240x240; Head; Axial plane
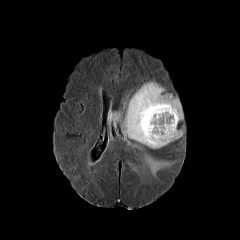
FLAIR magnetic resonance.
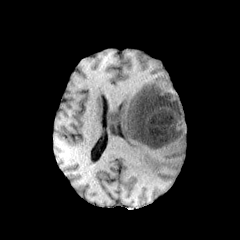
T1-weighted magnetic resonance.
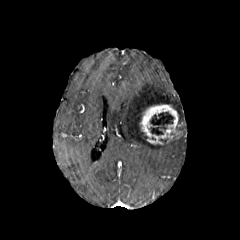
Post-contrast T1-weighted MRI.
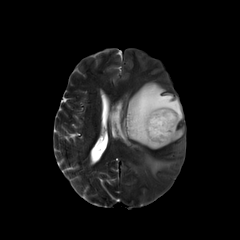
Same slice, T2-weighted MR image.
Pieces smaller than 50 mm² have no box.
The 2 largest peritumoral edema regions are bounded by x1=121 y1=81 x2=183 y2=177, x1=107 y1=111 x2=122 y2=126. The largest enhancing tumor region is at x1=139 y1=104 x2=181 y2=144. The largest necrotic tumor core region lies within x1=150 y1=112 x2=173 y2=135.